Head; Axial view; Slice 66/155
FLAIR magnetic resonance.
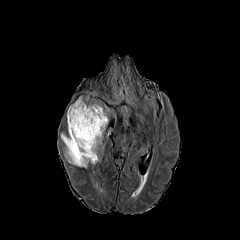
T1-weighted magnetic resonance.
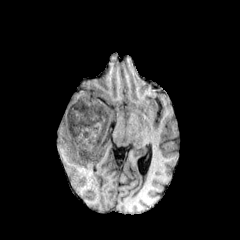
Post-contrast T1-weighted MR.
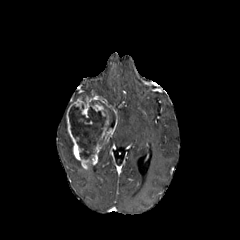
T2-weighted MR image.
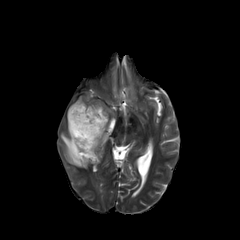
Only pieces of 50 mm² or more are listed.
peritumoral_edema:
  - rect(61, 133, 81, 166)
enhancing_tumor:
  - rect(66, 94, 109, 168)
necrotic_tumor_core:
  - rect(68, 105, 106, 160)